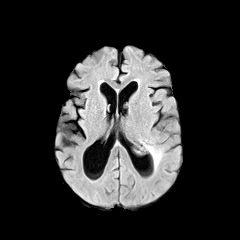
FLAIR MR.
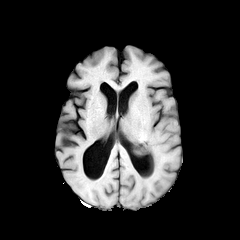
T1-weighted MR.
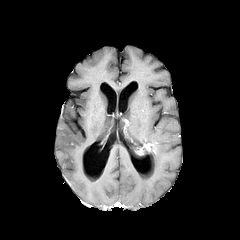
Post-contrast T1-weighted MR.
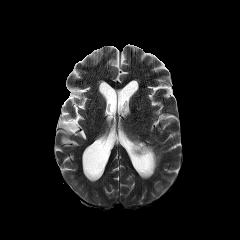
T2-weighted MRI of the same slice.
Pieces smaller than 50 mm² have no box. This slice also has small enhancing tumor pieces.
{"peritumoral_edema": ["bbox(148, 141, 162, 169)"]}